FLAIR MR image.
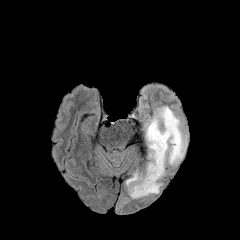
T1-weighted MR image.
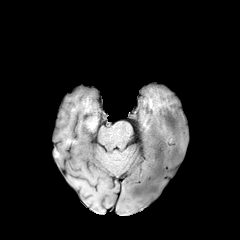
Post-contrast T1-weighted MRI.
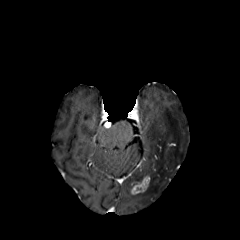
T2-weighted MRI.
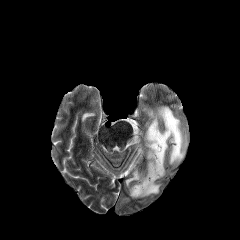
240x240 px | Head | Axial plane
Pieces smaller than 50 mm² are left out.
Annotated regions:
• peritumoral edema: [125, 106, 187, 198]
• enhancing tumor: [130, 175, 150, 194]